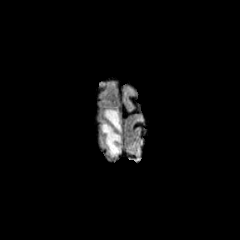
FLAIR MR.
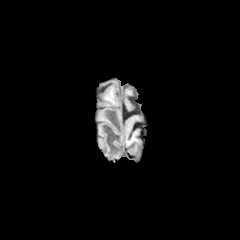
Same slice, T1-weighted magnetic resonance.
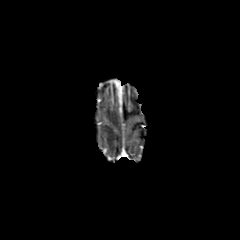
Post-contrast T1-weighted MR image of the same slice.
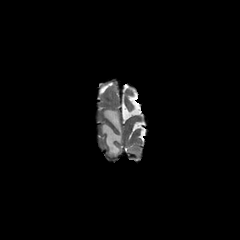
T2-weighted magnetic resonance of the same slice.
240x240. Head.
The peritumoral edema appears at 100 108 121 155.